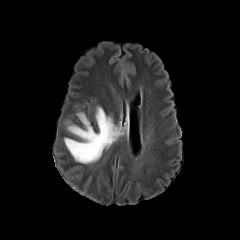
FLAIR MR image.
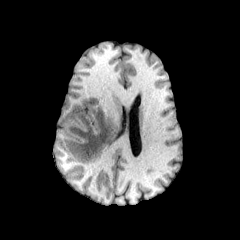
T1-weighted MR image of the same slice.
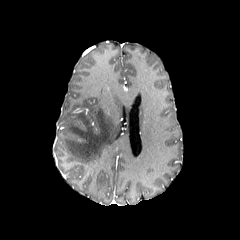
Post-contrast T1-weighted MR image of the same slice.
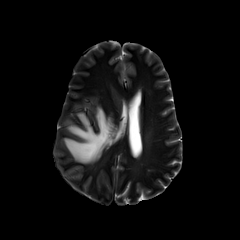
T2-weighted MR image of the same slice.
The peritumoral edema is bounded by [64, 106, 119, 163].